FLAIR MR.
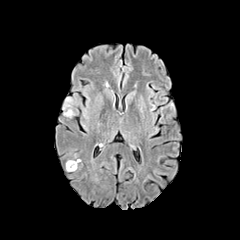
T1-weighted MR image.
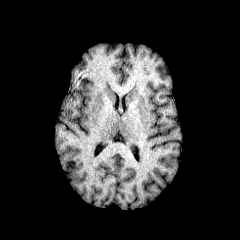
Post-contrast T1-weighted MR image.
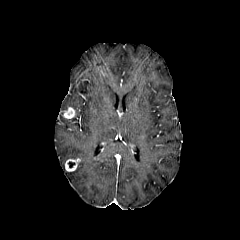
T2-weighted MRI.
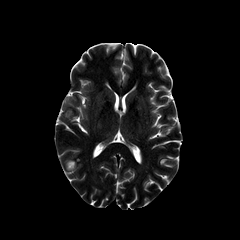
Head | Axial view
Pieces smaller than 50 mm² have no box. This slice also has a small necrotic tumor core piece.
{
  "peritumoral_edema": [
    "[x1=63, y1=97, x2=72, y2=110]"
  ],
  "enhancing_tumor": [
    "[x1=65, y1=158, x2=80, y2=171]",
    "[x1=63, y1=107, x2=75, y2=118]"
  ]
}